FLAIR MR.
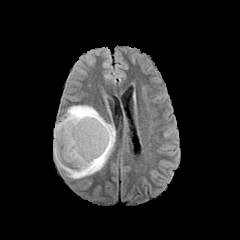
T1-weighted MR image.
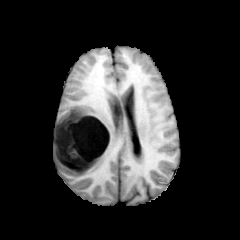
Post-contrast T1-weighted MR image.
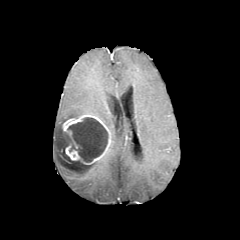
T2-weighted MR.
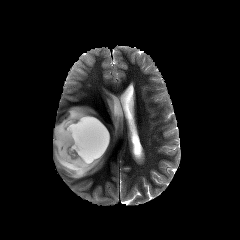
240x240 px, Axial slice
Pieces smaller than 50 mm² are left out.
enhancing tumor: bounding box (x1=60, y1=114, x2=110, y2=164)
necrotic tumor core: bounding box (x1=67, y1=117, x2=108, y2=162)
peritumoral edema: bounding box (x1=53, y1=105, x2=115, y2=179)